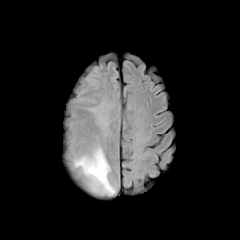
FLAIR MR.
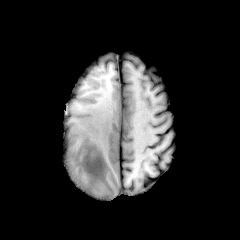
T1-weighted MR image.
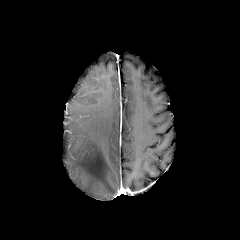
Post-contrast T1-weighted MR image.
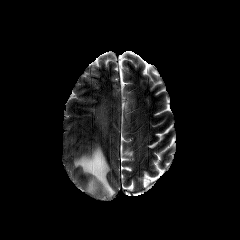
Same slice, T2-weighted magnetic resonance.
Head | Axial slice | Image size 240x240
The peritumoral edema lies within region(74, 146, 115, 195).